FLAIR magnetic resonance.
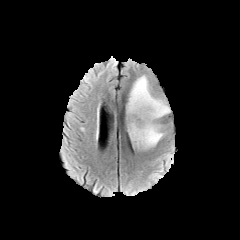
T1-weighted MRI.
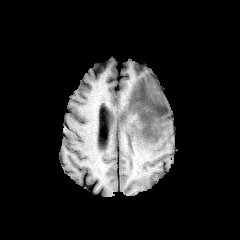
Post-contrast T1-weighted MR image.
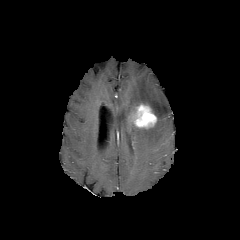
T2-weighted magnetic resonance.
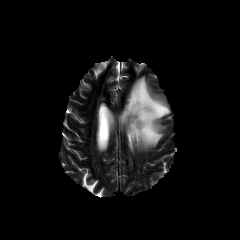
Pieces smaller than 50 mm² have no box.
enhancing tumor at 132,103,156,128
peritumoral edema at 126,75,170,149